FLAIR MR image.
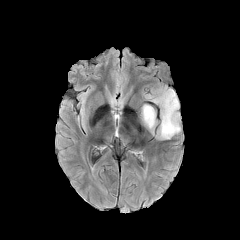
T1-weighted MR image.
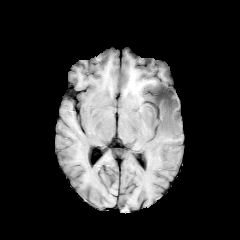
Post-contrast T1-weighted magnetic resonance.
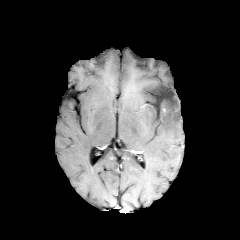
T2-weighted magnetic resonance.
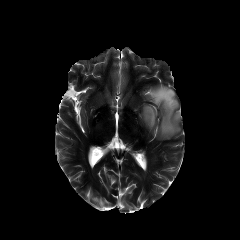
necrotic tumor core at 152 87 175 109
peritumoral edema at 145 86 180 139, 141 104 157 133